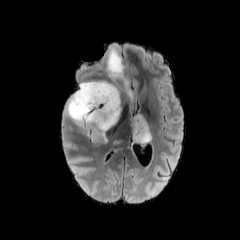
FLAIR MRI.
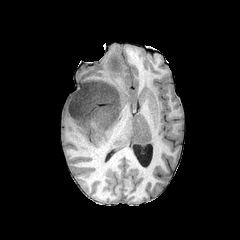
T1-weighted MR image.
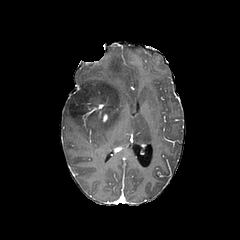
Post-contrast T1-weighted MR of the same slice.
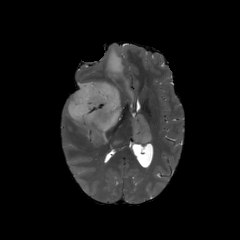
T2-weighted MR image of the same slice.
Brain; 240x240; Axial view
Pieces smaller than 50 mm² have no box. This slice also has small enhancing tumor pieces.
3 peritumoral edema regions appear at 130:114:153:145, 105:47:138:102, 67:80:123:146.